FLAIR MRI.
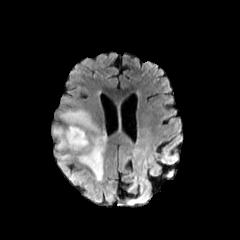
T1-weighted MR image.
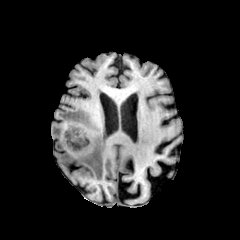
Post-contrast T1-weighted MRI.
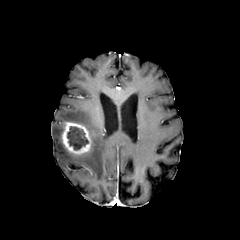
T2-weighted magnetic resonance.
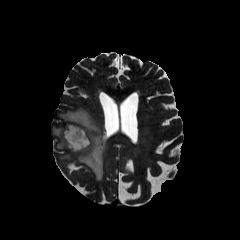
Axial plane
Annotated regions:
• enhancing tumor: left=61, top=121, right=91, bottom=155
• peritumoral edema: left=52, top=108, right=107, bottom=202
• necrotic tumor core: left=67, top=126, right=88, bottom=149